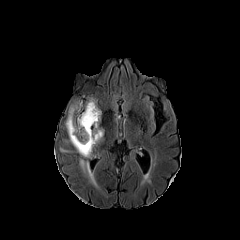
FLAIR magnetic resonance.
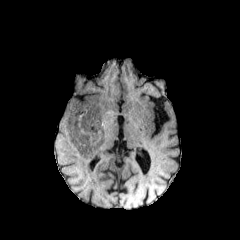
T1-weighted MR.
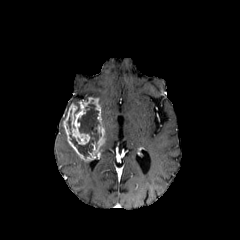
Post-contrast T1-weighted MR of the same slice.
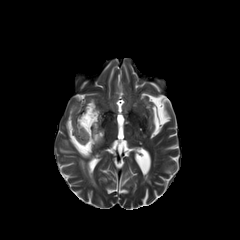
T2-weighted MRI of the same slice.
240x240, Brain
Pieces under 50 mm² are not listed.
enhancing tumor: [63,97,104,160] | necrotic tumor core: [67,103,99,157] | peritumoral edema: [79,158,97,186]